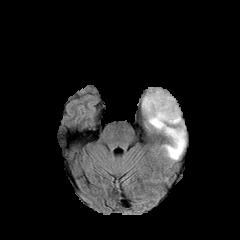
FLAIR MR image.
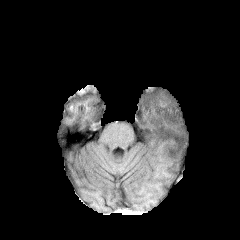
T1-weighted magnetic resonance.
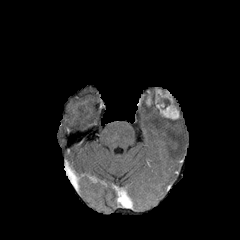
Post-contrast T1-weighted magnetic resonance.
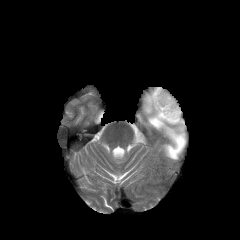
Same slice, T2-weighted MR.
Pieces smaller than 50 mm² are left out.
The largest peritumoral edema region appears at (142,91,186,160). 2 enhancing tumor regions appear at (154,88,179,119), (146,91,153,106). The necrotic tumor core appears at (161,99,170,108).